FLAIR magnetic resonance.
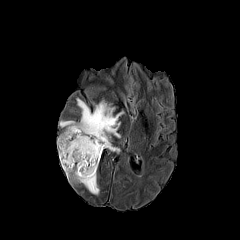
T1-weighted MRI.
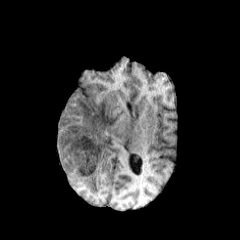
Post-contrast T1-weighted magnetic resonance.
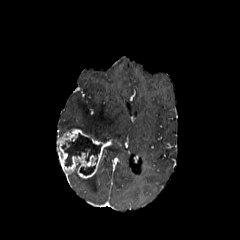
T2-weighted MRI.
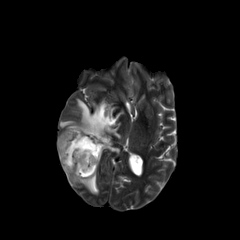
Axial slice, Brain
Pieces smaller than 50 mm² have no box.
enhancing tumor: l=57, t=128, r=110, b=178
peritumoral edema: l=68, t=170, r=99, b=194; l=104, t=145, r=121, b=154; l=59, t=98, r=124, b=142
necrotic tumor core: l=62, t=133, r=101, b=166; l=79, t=165, r=95, b=175